Axial slice; Image size 240x240
FLAIR MR.
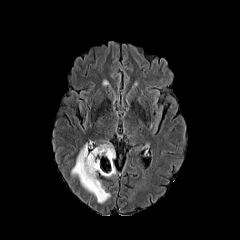
T1-weighted magnetic resonance.
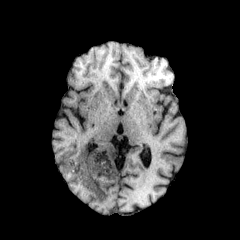
Post-contrast T1-weighted MR.
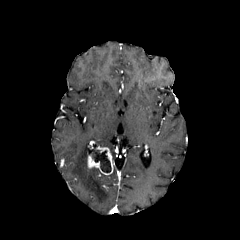
T2-weighted MR.
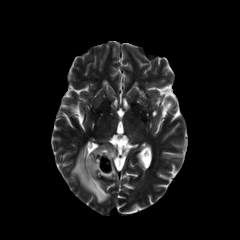
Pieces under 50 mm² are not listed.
necrotic_tumor_core:
  - 92,150,111,172
peritumoral_edema:
  - 71,142,117,203
  - 100,144,115,159
enhancing_tumor:
  - 87,146,113,175